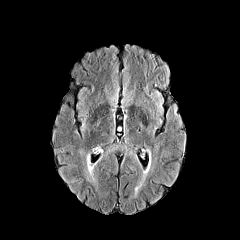
FLAIR MR image.
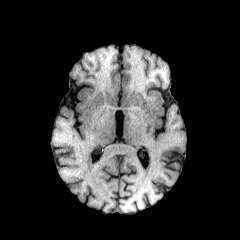
T1-weighted MR image.
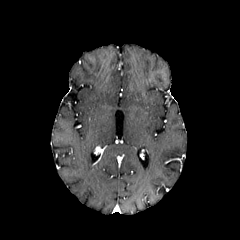
Post-contrast T1-weighted MRI.
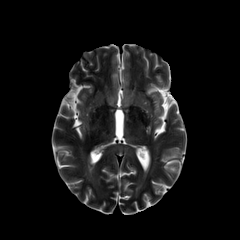
T2-weighted magnetic resonance of the same slice.
Head.
<segmentation>
  <peritumoral_edema>left=86, top=161, right=94, bottom=177</peritumoral_edema>
</segmentation>